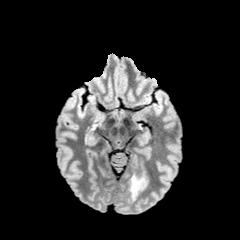
FLAIR magnetic resonance.
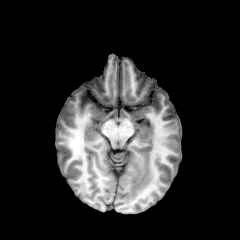
T1-weighted MR.
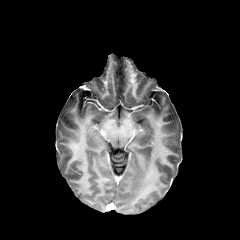
Same slice, post-contrast T1-weighted MR.
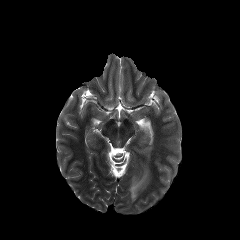
Same slice, T2-weighted MR image.
240x240 | Head
Segmented structures:
• peritumoral edema: <box>130,173,148,199</box>